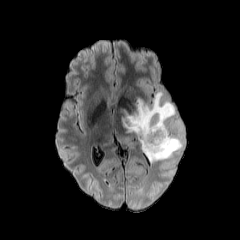
FLAIR MR image.
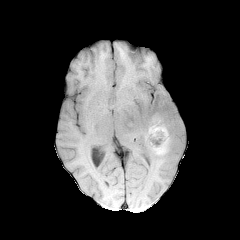
Same slice, T1-weighted MR image.
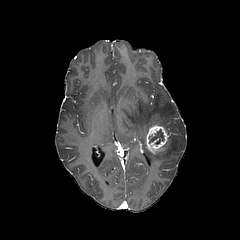
Post-contrast T1-weighted MR of the same slice.
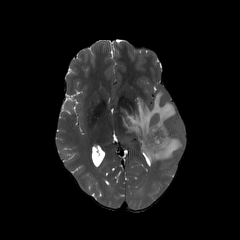
T2-weighted magnetic resonance.
240x240, Axial slice, Head
<segmentation>
  <necrotic_tumor_core>(148, 129, 164, 144)</necrotic_tumor_core>
  <peritumoral_edema>(123, 92, 184, 162)</peritumoral_edema>
  <enhancing_tumor>(145, 125, 169, 153)</enhancing_tumor>
</segmentation>